Brain, Image size 240x240, Slice 59 of 155
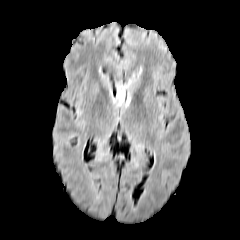
FLAIR MRI.
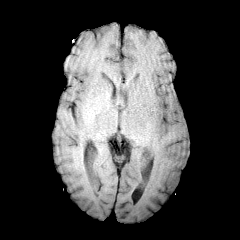
T1-weighted magnetic resonance.
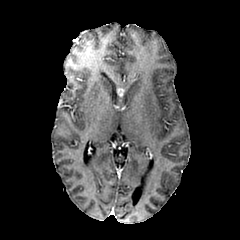
Post-contrast T1-weighted MR.
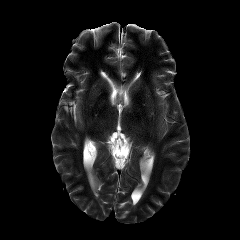
Same slice, T2-weighted magnetic resonance.
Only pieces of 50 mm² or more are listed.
enhancing tumor at box(117, 87, 124, 96)
peritumoral edema at box(116, 92, 124, 104)